Head
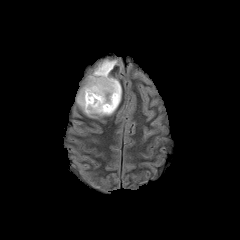
FLAIR MR.
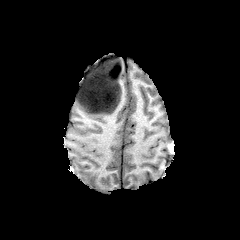
Same slice, T1-weighted MR image.
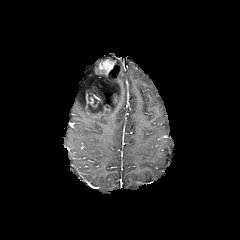
Same slice, post-contrast T1-weighted MRI.
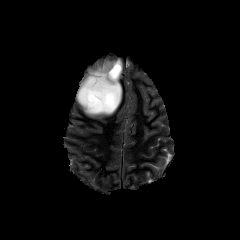
Same slice, T2-weighted MR image.
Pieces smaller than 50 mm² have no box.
The 2 largest enhancing tumor regions are located at left=86, top=92, right=97, bottom=108; left=95, top=59, right=116, bottom=75. The largest necrotic tumor core region is located at left=86, top=60, right=121, bottom=115. The largest peritumoral edema region is located at left=76, top=64, right=122, bottom=117.